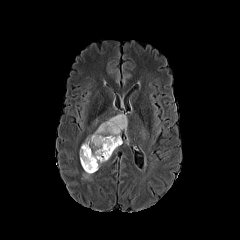
FLAIR MRI.
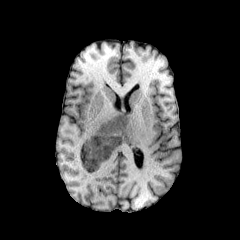
T1-weighted MR image of the same slice.
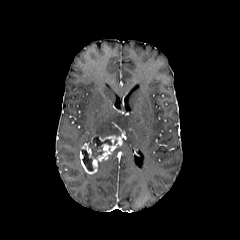
Post-contrast T1-weighted magnetic resonance.
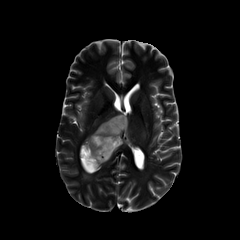
T2-weighted MR image of the same slice.
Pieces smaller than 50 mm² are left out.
<segmentation>
  <peritumoral_edema>left=85, top=114, right=127, bottom=142</peritumoral_edema>
  <enhancing_tumor>left=80, top=135, right=122, bottom=173</enhancing_tumor>
  <necrotic_tumor_core>left=89, top=136, right=111, bottom=158; left=82, top=149, right=93, bottom=171</necrotic_tumor_core>
</segmentation>